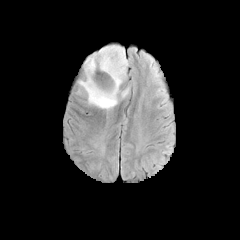
FLAIR magnetic resonance.
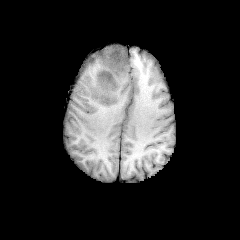
Same slice, T1-weighted MR image.
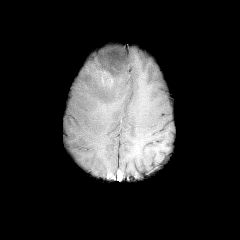
Post-contrast T1-weighted MRI.
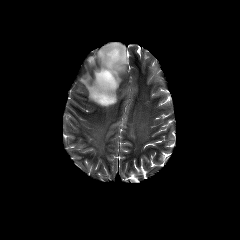
T2-weighted MR image.
240x240 px
enhancing tumor: bounding box x1=96 y1=70 x2=114 y2=88
peritumoral edema: bounding box x1=78 y1=45 x2=129 y2=110